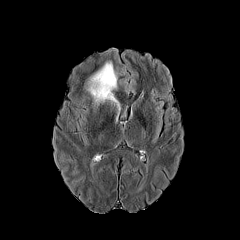
FLAIR MR image.
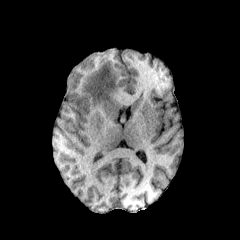
T1-weighted MRI.
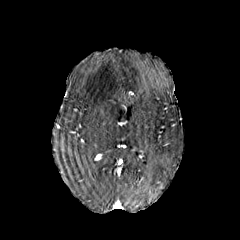
Same slice, post-contrast T1-weighted MR.
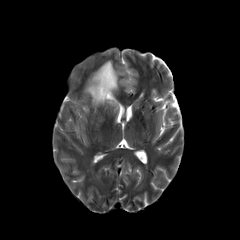
T2-weighted MRI.
240x240. Head. Axial slice.
peritumoral_edema:
  - [87, 61, 119, 109]